Brain
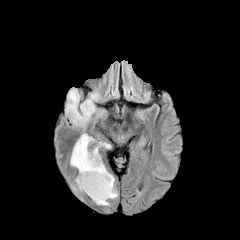
FLAIR magnetic resonance.
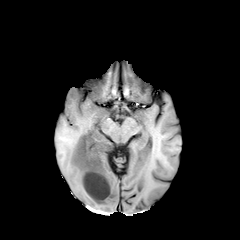
T1-weighted MR image.
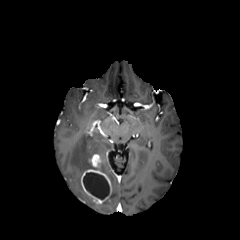
Post-contrast T1-weighted MR of the same slice.
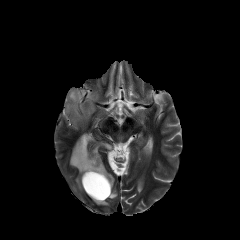
T2-weighted MRI.
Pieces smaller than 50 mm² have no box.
* enhancing tumor: (81, 154, 111, 203)
* necrotic tumor core: (83, 172, 109, 199)
* peritumoral edema: (65, 88, 97, 125), (101, 161, 117, 198), (70, 133, 111, 191)